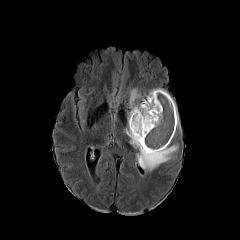
FLAIR MRI.
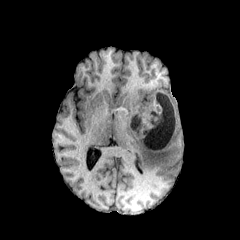
T1-weighted magnetic resonance.
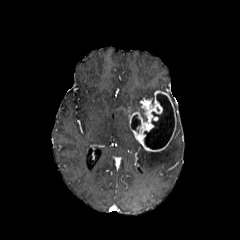
Post-contrast T1-weighted magnetic resonance.
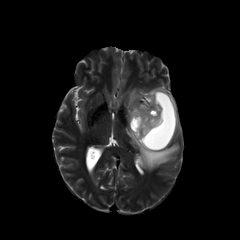
T2-weighted MR.
Image size 240x240, Axial view
enhancing_tumor:
  - 129:90:176:151
necrotic_tumor_core:
  - 131:115:140:130
  - 144:93:174:149
peritumoral_edema:
  - 147:88:165:104
  - 125:88:178:171
  - 171:97:180:129